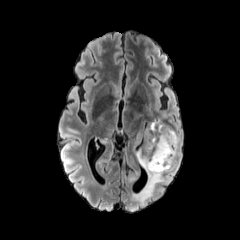
FLAIR MR image.
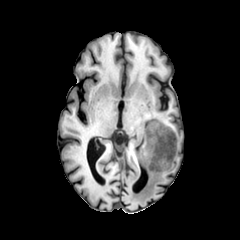
T1-weighted MR image of the same slice.
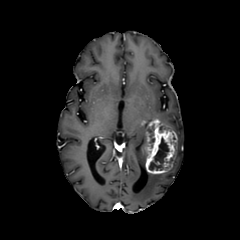
Post-contrast T1-weighted magnetic resonance.
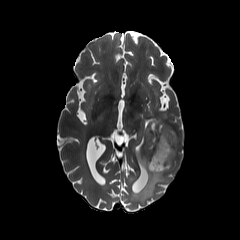
Same slice, T2-weighted MR image.
Head
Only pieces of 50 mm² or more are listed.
peritumoral edema: x1=171, y1=132, x2=181, y2=169; x1=158, y1=118, x2=172, y2=130; x1=132, y1=135, x2=146, y2=169; x1=131, y1=172, x2=164, y2=205
necrotic tumor core: x1=148, y1=124, x2=154, y2=148; x1=149, y1=137, x2=169, y2=170
enhancing tumor: x1=145, y1=118, x2=177, y2=174